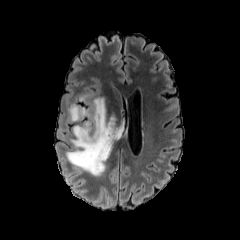
FLAIR MRI.
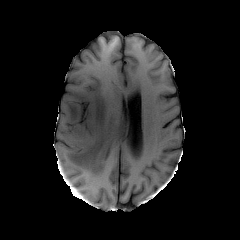
T1-weighted MRI.
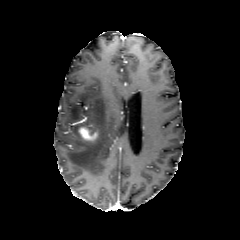
Post-contrast T1-weighted magnetic resonance.
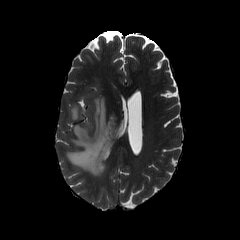
T2-weighted magnetic resonance.
Image size 240x240 | Head
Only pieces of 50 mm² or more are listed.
peritumoral edema: bbox(68, 104, 86, 121); bbox(66, 97, 124, 176)
enhancing tumor: bbox(78, 125, 98, 141)